Axial view. Brain.
FLAIR MR image.
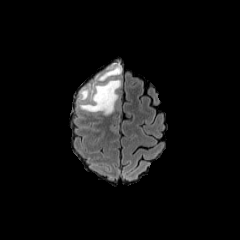
T1-weighted MR image.
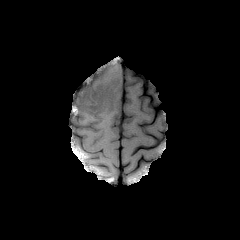
Post-contrast T1-weighted MRI.
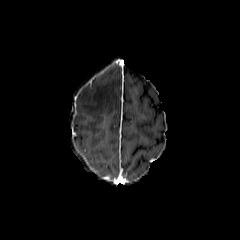
T2-weighted magnetic resonance.
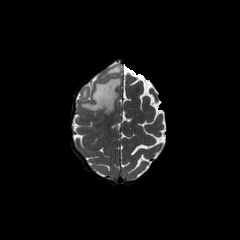
peritumoral edema — (x1=98, y1=64, x2=121, y2=81), (x1=79, y1=78, x2=121, y2=114)